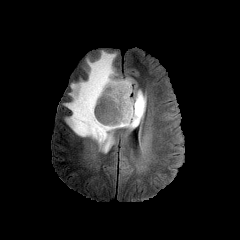
FLAIR magnetic resonance.
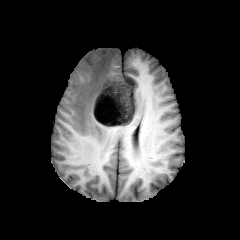
Same slice, T1-weighted MRI.
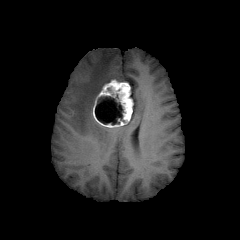
Post-contrast T1-weighted MR.
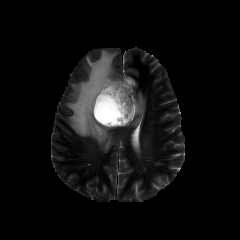
T2-weighted MR image.
Brain; 240x240 px
necrotic tumor core: (95,96,122,124) | peritumoral edema: (64,50,146,152) | enhancing tumor: (92,79,133,127)